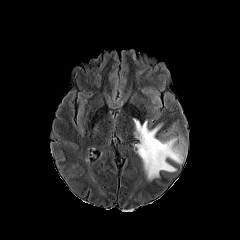
FLAIR MR image.
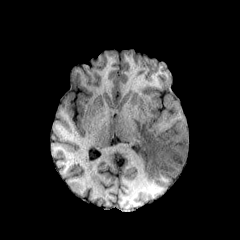
T1-weighted magnetic resonance of the same slice.
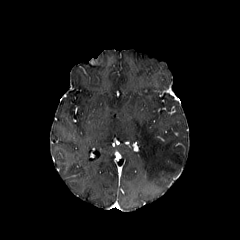
Same slice, post-contrast T1-weighted MR.
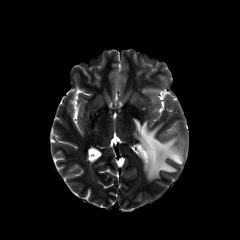
T2-weighted MR of the same slice.
Axial plane.
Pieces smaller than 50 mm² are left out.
peritumoral edema: bounding box x1=133, y1=119, x2=183, y2=180